Brain; Axial view
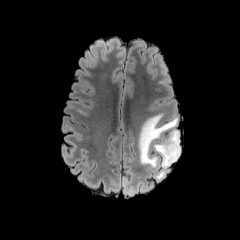
FLAIR magnetic resonance.
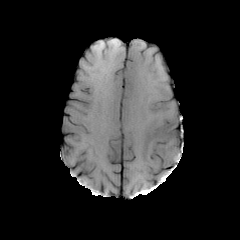
T1-weighted MRI.
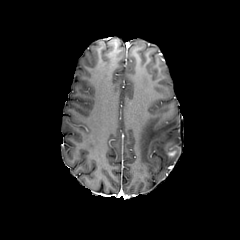
Same slice, post-contrast T1-weighted MR.
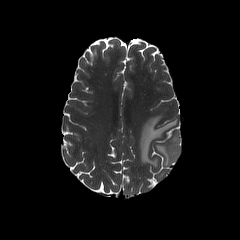
T2-weighted magnetic resonance.
Segmented structures:
- enhancing tumor: [168, 149, 176, 156]
- peritumoral edema: [138, 113, 180, 168], [156, 171, 165, 179]